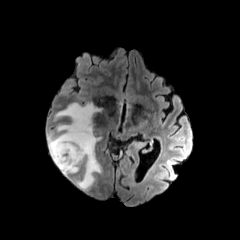
FLAIR MR.
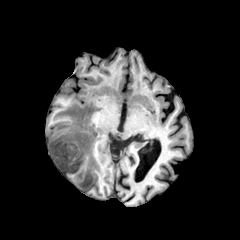
T1-weighted MRI.
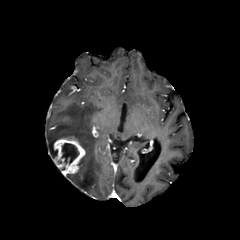
Post-contrast T1-weighted MR image.
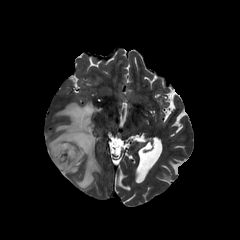
T2-weighted magnetic resonance.
Brain | 240x240 | Axial view
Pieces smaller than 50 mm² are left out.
{"peritumoral_edema": ["region(48, 102, 101, 189)"], "enhancing_tumor": ["region(53, 137, 85, 175)"], "necrotic_tumor_core": ["region(62, 143, 78, 163)"]}